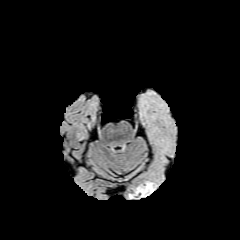
FLAIR magnetic resonance.
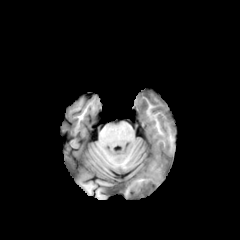
Same slice, T1-weighted MR.
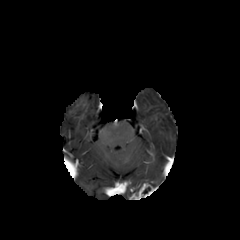
Post-contrast T1-weighted magnetic resonance.
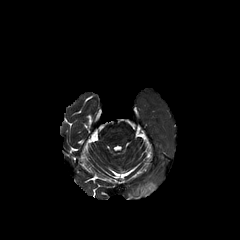
T2-weighted MRI.
240x240, Axial view
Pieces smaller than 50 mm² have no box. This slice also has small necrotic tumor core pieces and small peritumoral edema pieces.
enhancing tumor — (left=129, top=182, right=157, bottom=199)